Image width 240 mm, 1.00 mm slice spacing
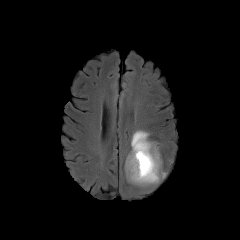
FLAIR MR image.
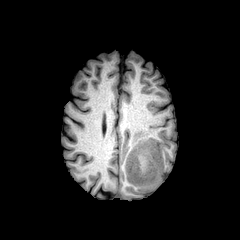
Same slice, T1-weighted MRI.
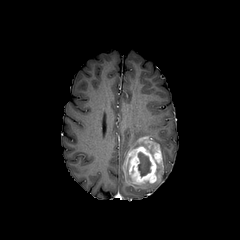
Post-contrast T1-weighted magnetic resonance.
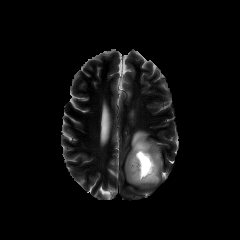
Same slice, T2-weighted MRI.
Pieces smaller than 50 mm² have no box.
necrotic_tumor_core:
  - 138:152:150:176
peritumoral_edema:
  - 135:171:166:186
  - 131:130:149:149
enhancing_tumor:
  - 124:137:162:184